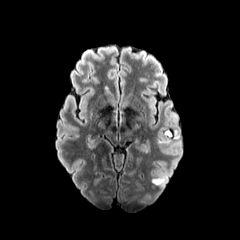
FLAIR magnetic resonance.
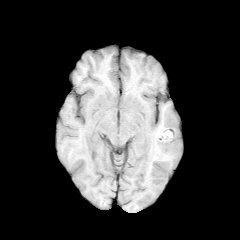
T1-weighted MR.
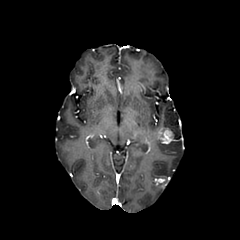
Post-contrast T1-weighted MR image of the same slice.
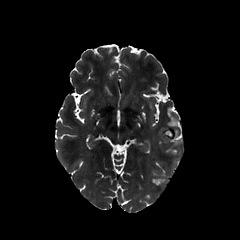
T2-weighted magnetic resonance.
Head
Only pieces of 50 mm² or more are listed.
The 2 largest enhancing tumor regions appear at x1=154, y1=178, x2=164, y2=185; x1=158, y1=129, x2=174, y2=143. The 2 largest peritumoral edema regions are located at x1=173, y1=129, x2=179, y2=139; x1=157, y1=172, x2=167, y2=186.